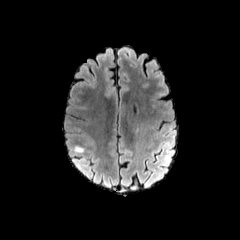
FLAIR MR image.
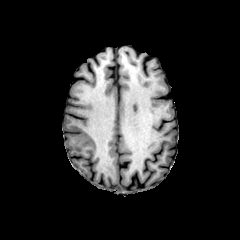
T1-weighted MR of the same slice.
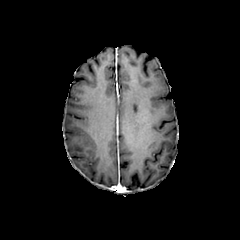
Post-contrast T1-weighted MR image.
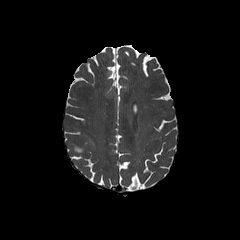
T2-weighted MR.
Axial view, Brain
{
  "peritumoral_edema": [
    "74 146 84 152"
  ]
}